Axial view | Slice 54/155 | Brain
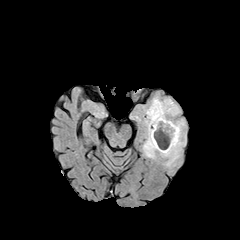
FLAIR MRI.
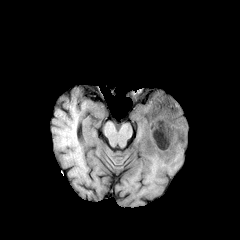
Same slice, T1-weighted MRI.
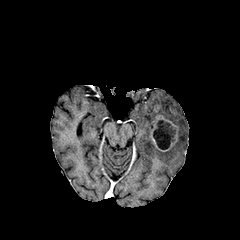
Post-contrast T1-weighted MR.
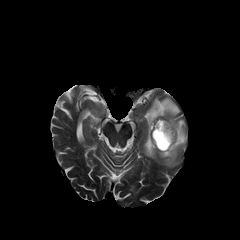
T2-weighted MR.
{"necrotic_tumor_core": ["(153,120,175,149)"], "enhancing_tumor": ["(150,115,178,151)"], "peritumoral_edema": ["(143,96,186,166)"]}